Slice 73 of 155
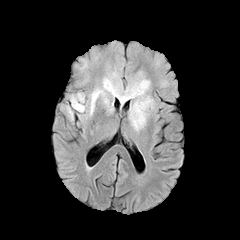
FLAIR MRI.
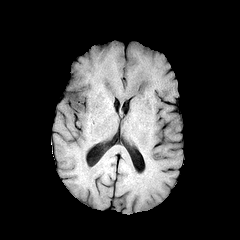
T1-weighted magnetic resonance of the same slice.
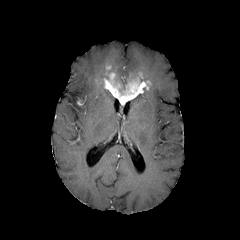
Post-contrast T1-weighted MRI.
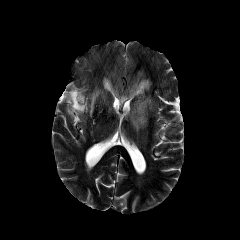
T2-weighted MRI.
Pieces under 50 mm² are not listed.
enhancing tumor — 104,73,150,104
peritumoral edema — 66,106,73,119; 129,90,154,130; 89,78,109,115; 110,71,122,86; 70,92,85,112